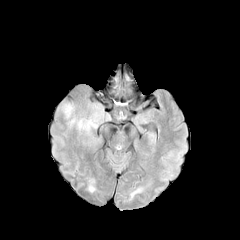
FLAIR MR image.
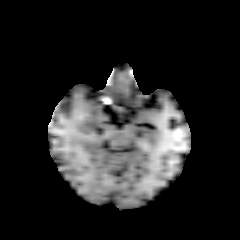
T1-weighted MR image.
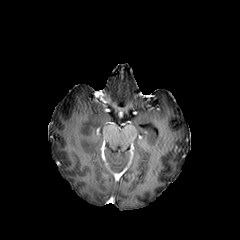
Post-contrast T1-weighted MR.
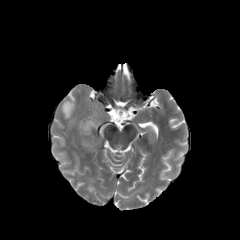
T2-weighted MRI.
Head
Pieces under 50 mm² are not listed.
The largest peritumoral edema region is located at bbox=[58, 102, 75, 119].